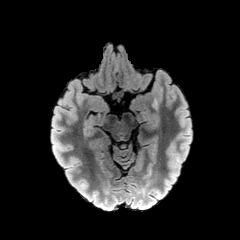
FLAIR MRI.
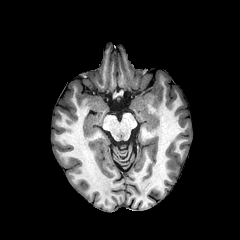
T1-weighted MR image of the same slice.
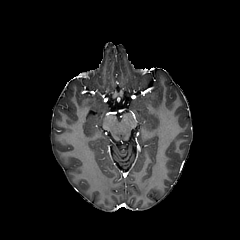
Post-contrast T1-weighted MR.
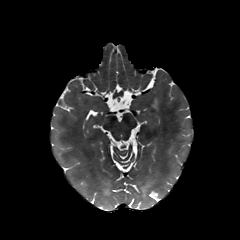
T2-weighted MR of the same slice.
Axial view, Brain
peritumoral edema: bounding box 152, 98, 158, 109